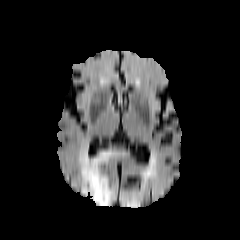
FLAIR MR.
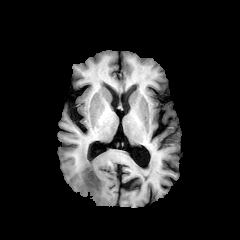
T1-weighted MR image.
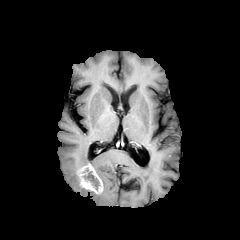
Post-contrast T1-weighted MR image.
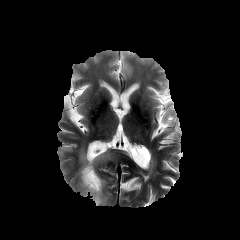
T2-weighted MR.
Axial slice. Brain.
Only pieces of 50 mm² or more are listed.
The peritumoral edema lies within <bbox>79, 147, 113, 205</bbox>. The largest necrotic tumor core region appears at <bbox>84, 171, 98, 189</bbox>. The enhancing tumor appears at <bbox>78, 163, 103, 194</bbox>.